Axial plane. Head. Slice 64 of 155.
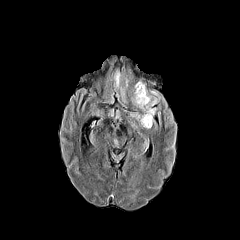
FLAIR magnetic resonance.
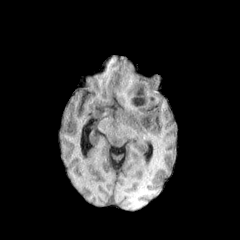
Same slice, T1-weighted MR image.
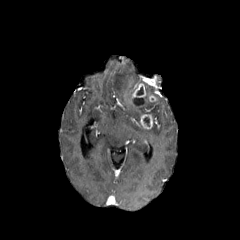
Post-contrast T1-weighted MRI of the same slice.
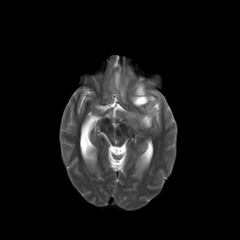
T2-weighted magnetic resonance.
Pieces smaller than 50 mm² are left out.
The 3 largest enhancing tumor regions are located at <box>143,78,155,86</box>, <box>140,114,152,129</box>, <box>132,83,145,97</box>. The 3 largest peritumoral edema regions are bounded by <box>113,69,128,103</box>, <box>130,111,140,119</box>, <box>137,99,157,115</box>. The largest necrotic tumor core region appears at <box>133,97,145,105</box>.